Head | Axial slice | Slice 83/155
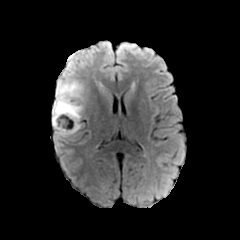
FLAIR MRI.
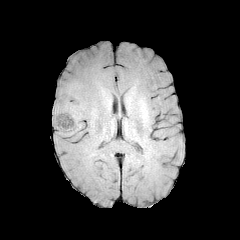
Same slice, T1-weighted MR.
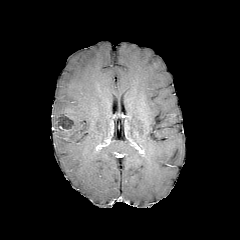
Post-contrast T1-weighted MRI of the same slice.
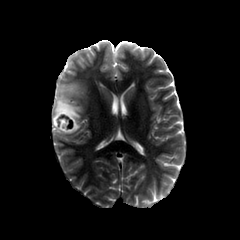
T2-weighted magnetic resonance of the same slice.
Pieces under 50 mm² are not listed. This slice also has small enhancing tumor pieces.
<segmentation>
  <necrotic_tumor_core><bbox>58, 113, 75, 129</bbox></necrotic_tumor_core>
  <peritumoral_edema><bbox>51, 78, 85, 137</bbox></peritumoral_edema>
</segmentation>